Image width 240 mm
FLAIR MR.
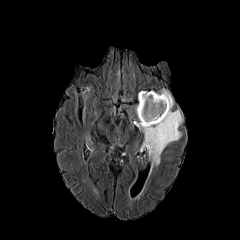
T1-weighted MRI.
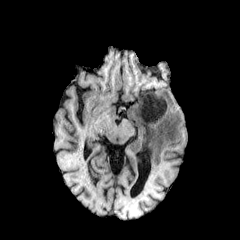
Post-contrast T1-weighted MR.
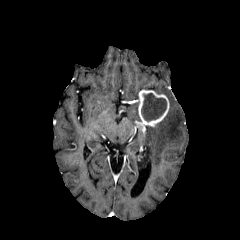
T2-weighted MRI.
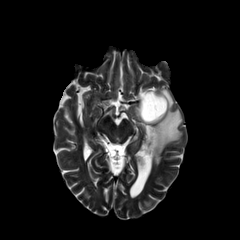
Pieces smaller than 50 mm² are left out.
<segmentation>
  <necrotic_tumor_core>[141,93,166,121]</necrotic_tumor_core>
  <peritumoral_edema>[134,88,182,170]</peritumoral_edema>
  <enhancing_tumor>[138,90,169,126]</enhancing_tumor>
</segmentation>